Slice 121 of 155; Brain; 240x240
FLAIR MRI.
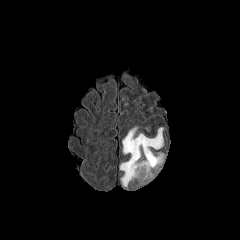
T1-weighted MR.
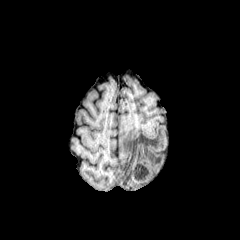
Post-contrast T1-weighted MRI.
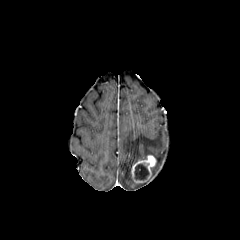
T2-weighted MRI.
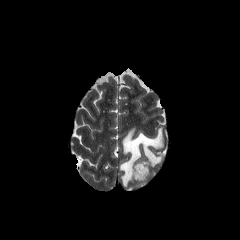
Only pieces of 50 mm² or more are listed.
The necrotic tumor core appears at 134:164:149:180. The enhancing tumor is at 131:155:156:182. The largest peritumoral edema region appears at 118:126:165:190.